Slice index 50 | Axial view
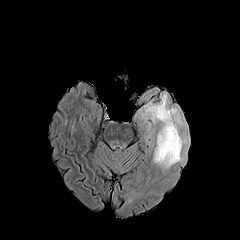
FLAIR magnetic resonance.
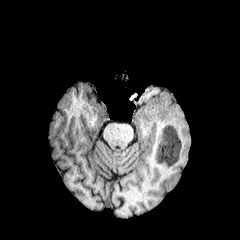
T1-weighted MR.
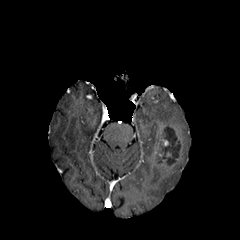
Post-contrast T1-weighted magnetic resonance.
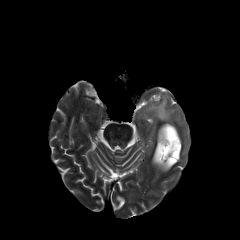
T2-weighted MRI.
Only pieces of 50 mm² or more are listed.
The necrotic tumor core appears at box=[157, 126, 180, 163]. The peritumoral edema is at box=[142, 93, 188, 169]. The 3 largest enhancing tumor regions are located at box=[159, 136, 168, 146]; box=[169, 125, 180, 143]; box=[156, 145, 163, 158].